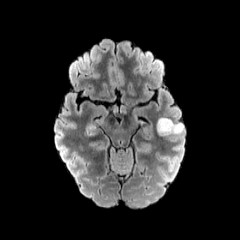
FLAIR magnetic resonance.
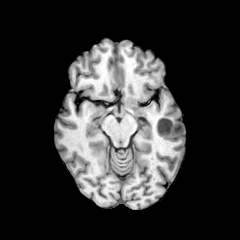
Same slice, T1-weighted MR.
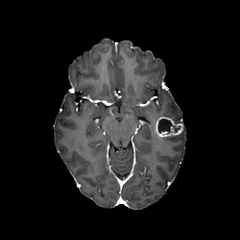
Post-contrast T1-weighted MRI of the same slice.
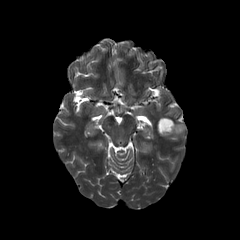
Same slice, T2-weighted MR image.
Head | Axial plane
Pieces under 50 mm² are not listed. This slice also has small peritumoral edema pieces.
enhancing tumor: bounding box 155 116 183 137
necrotic tumor core: bounding box 158 119 172 132